Slice 112 of 155 | Image size 240x240 | Axial view
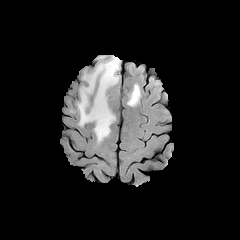
FLAIR MR image.
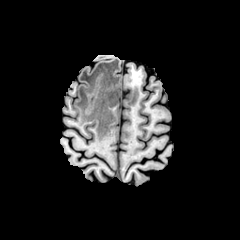
T1-weighted magnetic resonance.
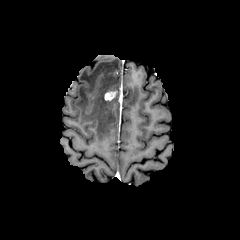
Post-contrast T1-weighted MR image of the same slice.
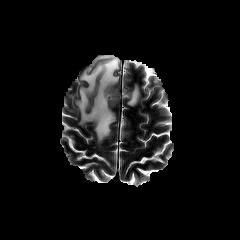
Same slice, T2-weighted MR.
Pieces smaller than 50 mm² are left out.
{"peritumoral_edema": ["77, 56, 120, 142", "127, 84, 140, 106"], "enhancing_tumor": ["104, 90, 117, 100"]}